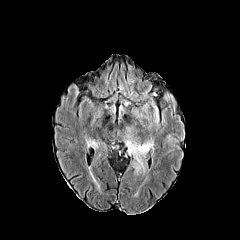
FLAIR MR.
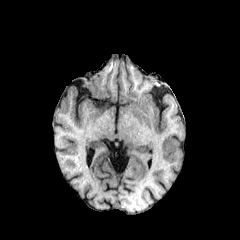
T1-weighted MR of the same slice.
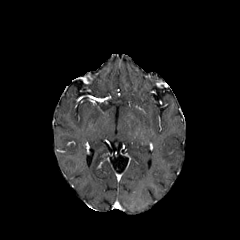
Post-contrast T1-weighted MRI.
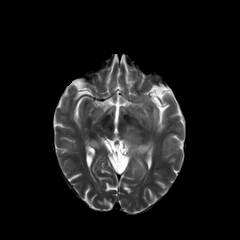
Same slice, T2-weighted MR image.
240x240, Axial slice
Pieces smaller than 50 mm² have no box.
peritumoral edema — <bbox>124, 139, 154, 172</bbox>, <bbox>85, 137, 97, 149</bbox>